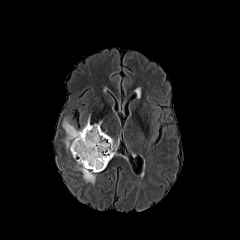
FLAIR MR image.
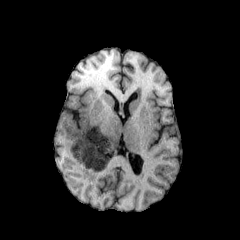
Same slice, T1-weighted MR.
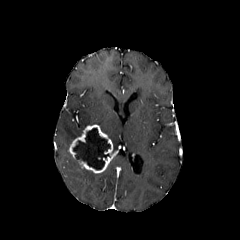
Post-contrast T1-weighted MRI.
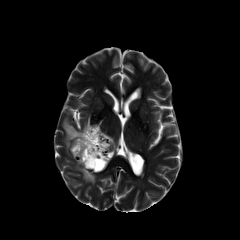
T2-weighted MR.
Brain; Axial plane
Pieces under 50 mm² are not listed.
<segmentation>
  <necrotic_tumor_core>region(73, 128, 110, 169)</necrotic_tumor_core>
  <enhancing_tumor>region(69, 124, 117, 173)</enhancing_tumor>
  <peritumoral_edema>region(62, 116, 89, 151); region(75, 162, 98, 184); region(109, 136, 118, 150)</peritumoral_edema>
</segmentation>